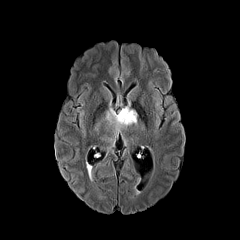
FLAIR magnetic resonance.
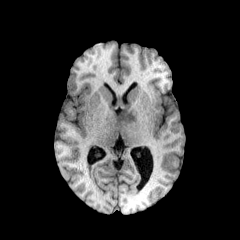
T1-weighted MR image.
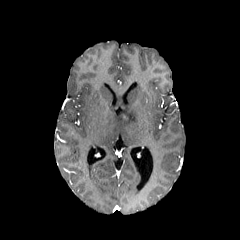
Same slice, post-contrast T1-weighted MR image.
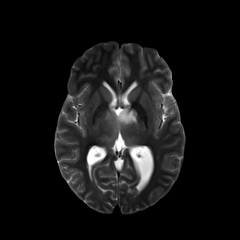
T2-weighted MRI.
Axial plane; Head
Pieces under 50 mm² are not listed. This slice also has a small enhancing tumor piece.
peritumoral edema: bounding box x1=105 y1=107 x2=137 y2=137, x1=100 y1=135 x2=113 y2=143